FLAIR MR image.
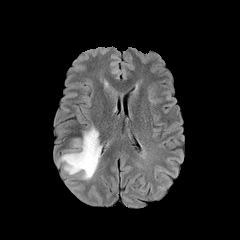
T1-weighted MR image.
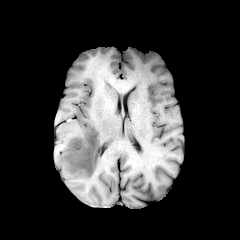
Post-contrast T1-weighted MRI.
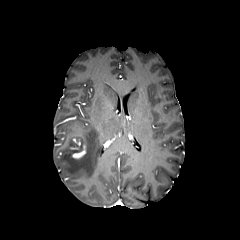
T2-weighted MR.
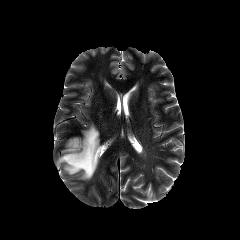
240x240 px | Axial view
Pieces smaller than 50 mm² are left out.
enhancing tumor: (72, 145, 86, 159)
peritumoral edema: (57, 125, 101, 179)